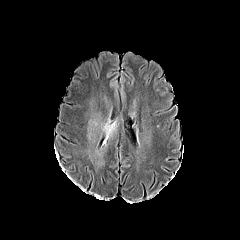
FLAIR MR image.
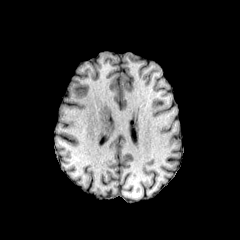
T1-weighted MR image of the same slice.
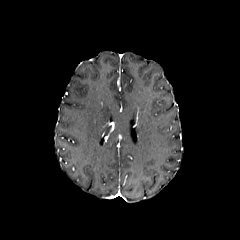
Post-contrast T1-weighted MR image of the same slice.
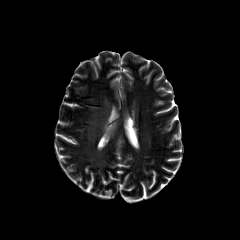
Same slice, T2-weighted MR.
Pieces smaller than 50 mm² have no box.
{"peritumoral_edema": ["bbox=[103, 124, 112, 136]"]}